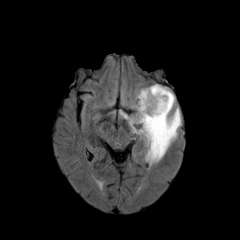
FLAIR magnetic resonance.
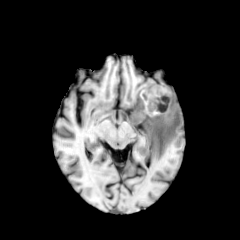
T1-weighted MR.
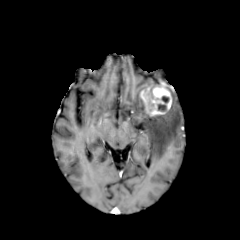
Post-contrast T1-weighted MRI of the same slice.
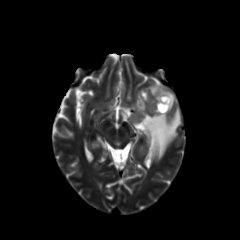
T2-weighted MR image.
Head, Axial plane
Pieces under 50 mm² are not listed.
Findings:
• enhancing tumor: bbox(139, 87, 171, 117)
• peritumoral edema: bbox(132, 93, 180, 160)
• necrotic tumor core: bbox(157, 104, 166, 111)